FLAIR magnetic resonance.
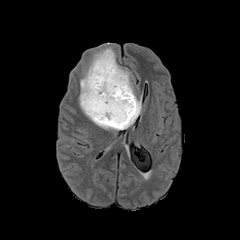
T1-weighted magnetic resonance.
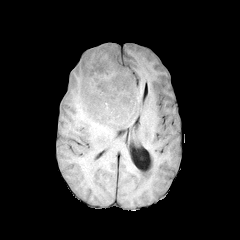
Post-contrast T1-weighted MR image.
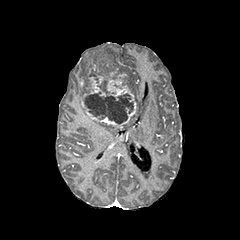
T2-weighted MR image.
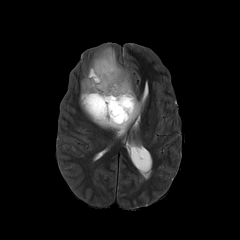
Head, 240x240 px
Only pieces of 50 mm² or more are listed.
enhancing tumor — (x1=82, y1=60, x2=136, y2=128)
necrotic tumor core — (x1=85, y1=91, x2=133, y2=124)
peritumoral edema — (x1=79, y1=47, x2=141, y2=130)